Brain, Slice 49/155, 240x240 px
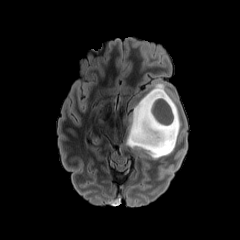
FLAIR magnetic resonance.
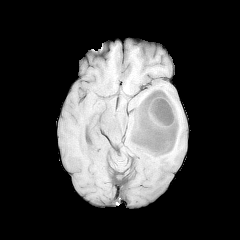
T1-weighted MR of the same slice.
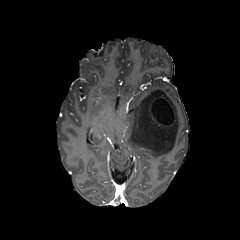
Same slice, post-contrast T1-weighted MRI.
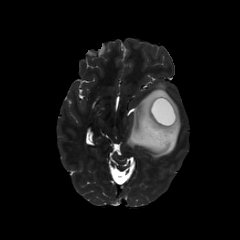
T2-weighted MR of the same slice.
<segmentation>
  <enhancing_tumor>150 97 175 126</enhancing_tumor>
  <necrotic_tumor_core>152 99 173 124</necrotic_tumor_core>
  <peritumoral_edema>126 84 180 158</peritumoral_edema>
</segmentation>